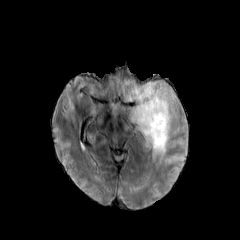
FLAIR MRI.
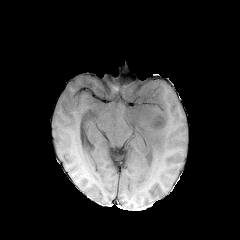
Same slice, T1-weighted MR.
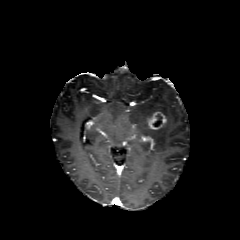
Same slice, post-contrast T1-weighted MR image.
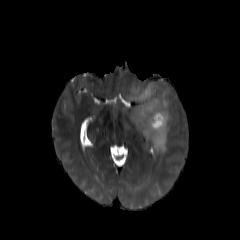
T2-weighted MRI.
Head | Axial view
- necrotic tumor core: [153, 114, 162, 126]
- peritumoral edema: [126, 82, 171, 154]
- enhancing tumor: [147, 111, 166, 130]